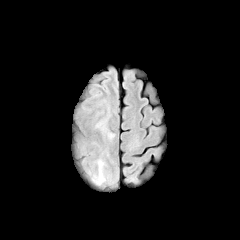
FLAIR MR image.
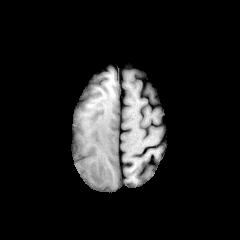
Same slice, T1-weighted MRI.
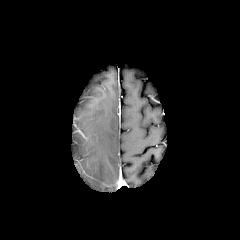
Same slice, post-contrast T1-weighted MRI.
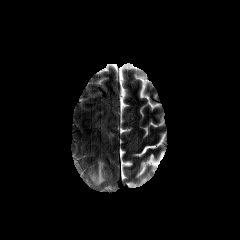
Same slice, T2-weighted MRI.
Head
peritumoral_edema:
  - bbox(93, 160, 105, 184)